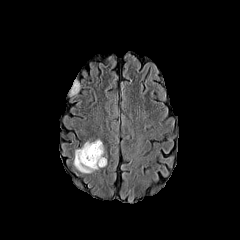
FLAIR MR image.
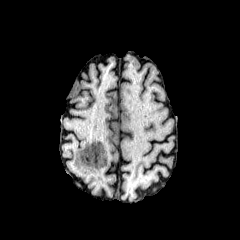
Same slice, T1-weighted MR.
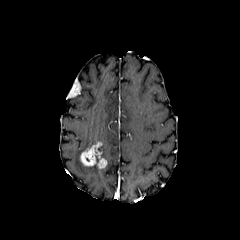
Post-contrast T1-weighted MRI.
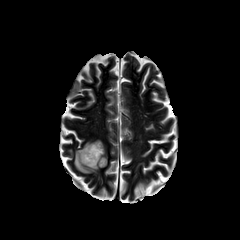
Same slice, T2-weighted MR image.
Axial plane. Brain.
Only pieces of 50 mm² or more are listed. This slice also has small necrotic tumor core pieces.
Findings:
- enhancing tumor: [80, 142, 107, 168]
- peritumoral edema: [74, 139, 101, 173]